Axial slice | Head
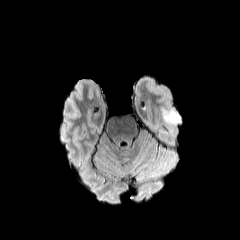
FLAIR MRI.
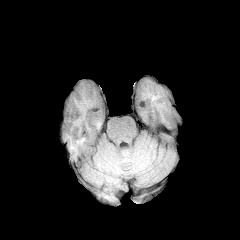
T1-weighted MR image.
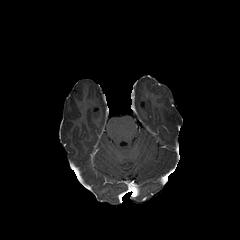
Same slice, post-contrast T1-weighted MR.
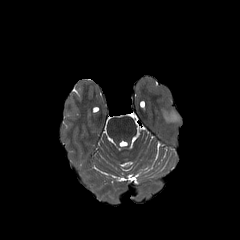
T2-weighted magnetic resonance.
peritumoral edema: 162, 109, 180, 122